Slice 72/155, Head
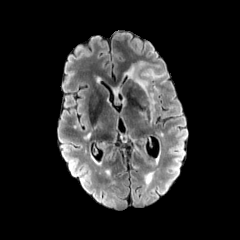
FLAIR MR image.
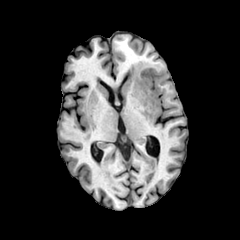
T1-weighted MRI.
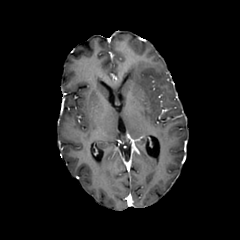
Same slice, post-contrast T1-weighted MR image.
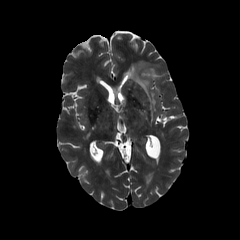
T2-weighted MRI of the same slice.
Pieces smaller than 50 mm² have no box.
<segmentation>
  <peritumoral_edema>124 61 163 121</peritumoral_edema>
</segmentation>